Image size 240x240 | Brain | Slice index 64 | Axial slice
FLAIR MRI.
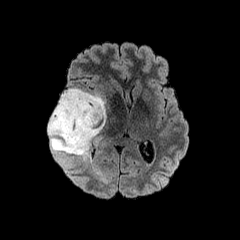
T1-weighted MR.
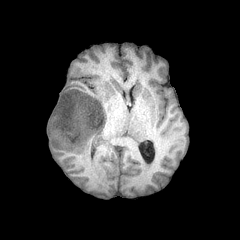
Post-contrast T1-weighted MR image.
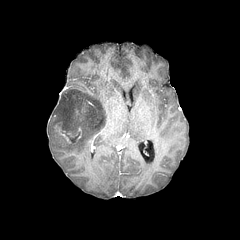
T2-weighted magnetic resonance.
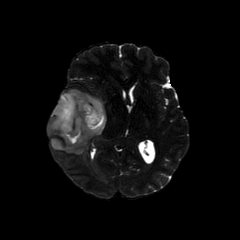
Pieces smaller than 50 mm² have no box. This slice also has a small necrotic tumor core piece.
enhancing tumor = 54,125,81,144
peritumoral edema = 48,88,106,160